Slice 36 of 155
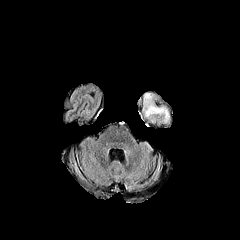
FLAIR magnetic resonance.
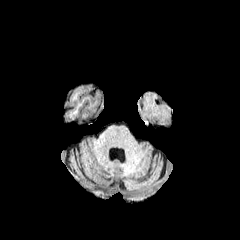
Same slice, T1-weighted magnetic resonance.
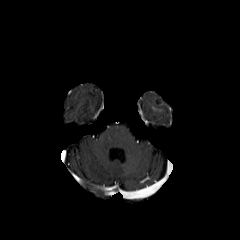
Post-contrast T1-weighted MRI.
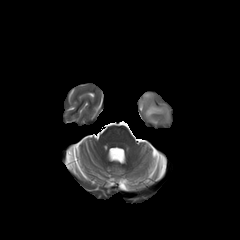
T2-weighted MR image.
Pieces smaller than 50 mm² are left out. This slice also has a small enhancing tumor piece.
peritumoral edema at x1=142 y1=92 x2=169 y2=122